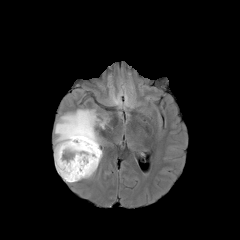
FLAIR MR image.
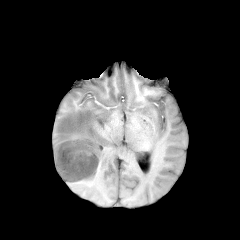
T1-weighted MRI.
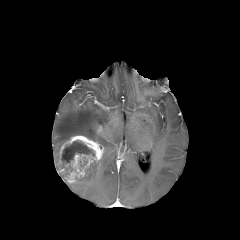
Post-contrast T1-weighted magnetic resonance.
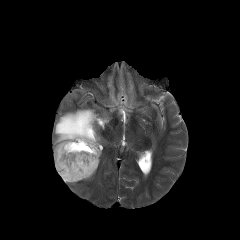
Same slice, T2-weighted MR.
Brain.
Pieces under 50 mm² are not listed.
The enhancing tumor is located at 55:135:102:183. The 2 largest peritumoral edema regions are bounded by 54:109:106:162, 77:159:100:181. The necrotic tumor core is bounded by 61:141:94:167.